FLAIR MRI.
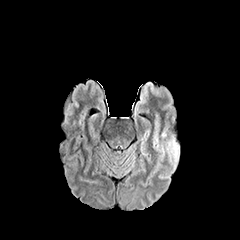
T1-weighted MR.
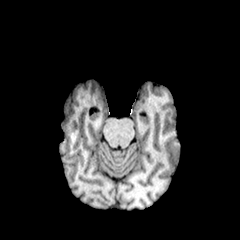
Post-contrast T1-weighted MR image.
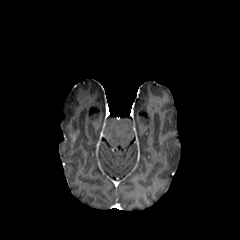
T2-weighted MR image.
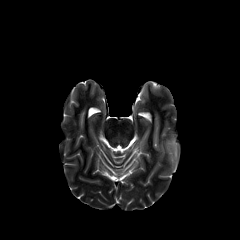
peritumoral_edema:
  - bbox=[160, 136, 178, 169]